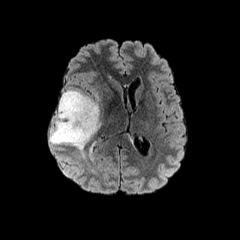
FLAIR MR image.
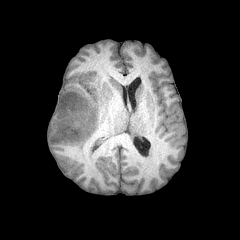
T1-weighted MR of the same slice.
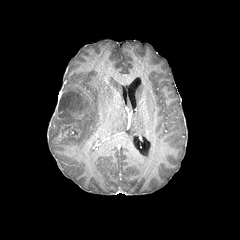
Post-contrast T1-weighted MR.
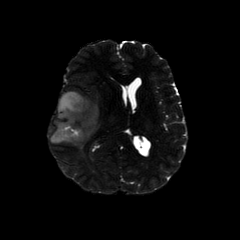
T2-weighted magnetic resonance of the same slice.
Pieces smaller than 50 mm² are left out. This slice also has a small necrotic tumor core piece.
The peritumoral edema appears at [50,90,99,150]. The enhancing tumor appears at [53,124,81,142].